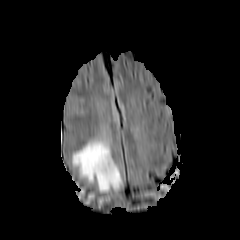
FLAIR magnetic resonance.
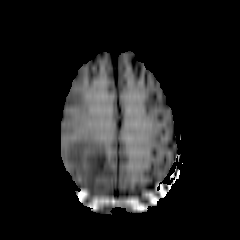
T1-weighted MR image.
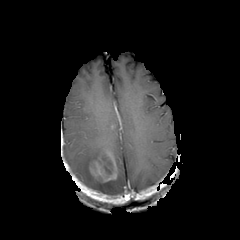
Post-contrast T1-weighted MRI.
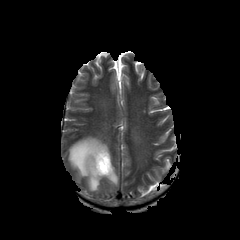
T2-weighted MR of the same slice.
Brain
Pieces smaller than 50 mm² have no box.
The largest enhancing tumor region lies within 90:156:116:181. The peritumoral edema appears at 71:137:122:192. The necrotic tumor core is bounded by 103:157:111:174.